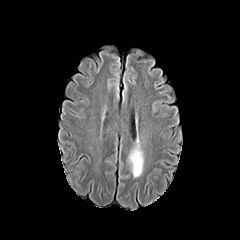
FLAIR MRI.
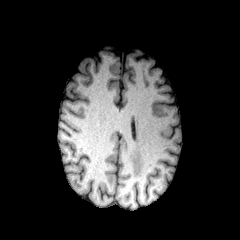
Same slice, T1-weighted magnetic resonance.
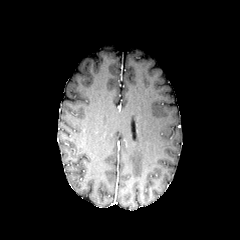
Post-contrast T1-weighted MRI.
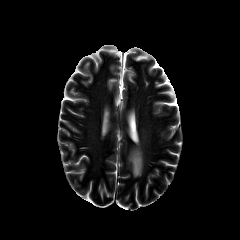
T2-weighted MR image of the same slice.
Brain. 240x240 px.
The peritumoral edema appears at [128,141,143,177].